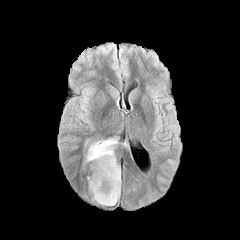
FLAIR magnetic resonance.
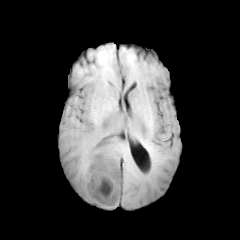
T1-weighted MR image.
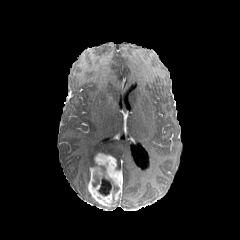
Post-contrast T1-weighted MR image of the same slice.
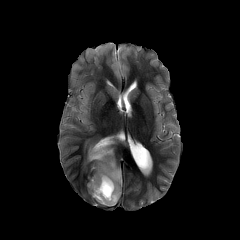
T2-weighted MR image of the same slice.
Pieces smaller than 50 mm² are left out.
peritumoral edema: bounding box bbox(86, 139, 117, 161)
enhancing tumor: bounding box bbox(88, 153, 122, 206)
necrotic tumor core: bounding box bbox(92, 175, 99, 186); bbox(98, 176, 111, 195)